FLAIR magnetic resonance.
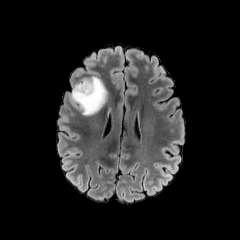
T1-weighted magnetic resonance.
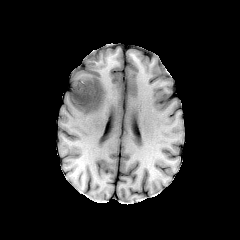
Post-contrast T1-weighted MRI.
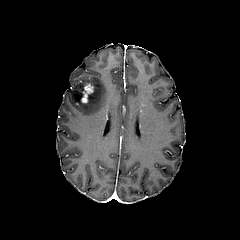
T2-weighted MR image.
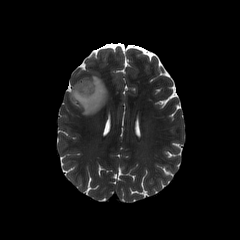
Head; Axial plane
<segmentation>
  <peritumoral_edema>{"x1": 69, "y1": 76, "x2": 107, "y2": 115}</peritumoral_edema>
  <enhancing_tumor>{"x1": 81, "y1": 84, "x2": 93, "y2": 103}</enhancing_tumor>
</segmentation>